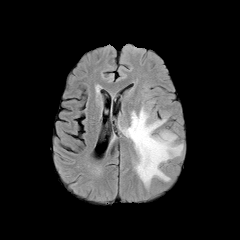
FLAIR MR.
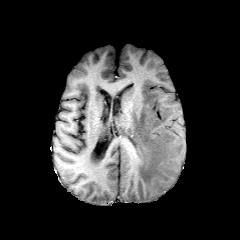
Same slice, T1-weighted MR image.
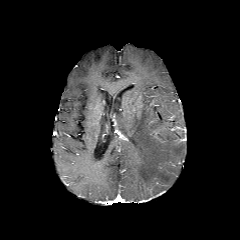
Same slice, post-contrast T1-weighted magnetic resonance.
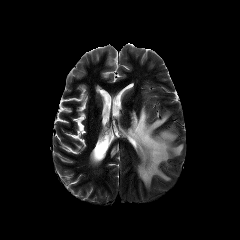
Same slice, T2-weighted MR.
Axial slice
Segmented structures:
• peritumoral edema: x1=120 y1=106 x2=183 y2=187